Axial slice. Head.
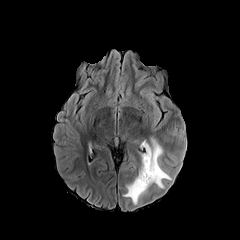
FLAIR MR image.
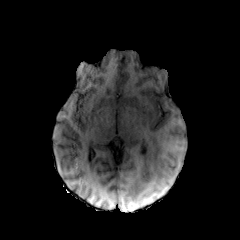
T1-weighted MRI of the same slice.
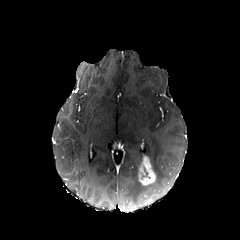
Post-contrast T1-weighted MR image.
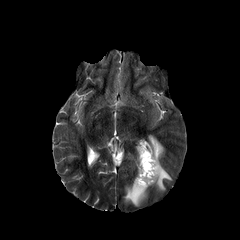
T2-weighted MRI of the same slice.
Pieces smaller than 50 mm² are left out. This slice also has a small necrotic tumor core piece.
enhancing tumor = 139 156 155 185
peritumoral edema = 122 136 172 205